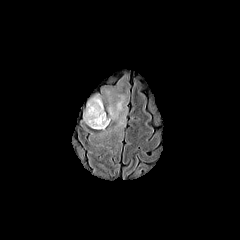
FLAIR magnetic resonance.
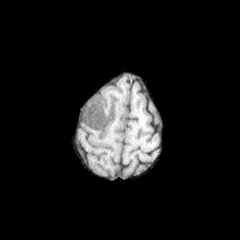
T1-weighted MRI of the same slice.
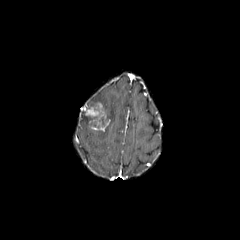
Post-contrast T1-weighted MR image.
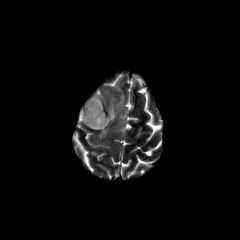
T2-weighted magnetic resonance.
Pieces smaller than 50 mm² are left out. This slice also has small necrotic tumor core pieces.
The enhancing tumor is located at left=85, top=102, right=110, bottom=130. The 2 largest peritumoral edema regions are bounded by left=87, top=94, right=104, bottom=109; left=106, top=91, right=126, bottom=130.